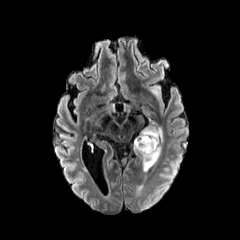
FLAIR MR.
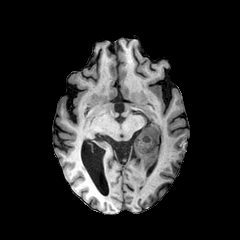
T1-weighted magnetic resonance of the same slice.
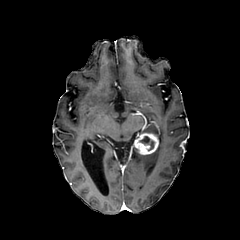
Post-contrast T1-weighted MRI of the same slice.
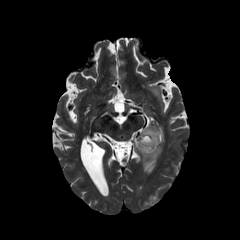
T2-weighted MRI.
Axial view; Brain
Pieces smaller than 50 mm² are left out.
enhancing tumor: bounding box x1=134, y1=132, x2=158, y2=154
peritumoral edema: bounding box x1=139, y1=122, x2=163, y2=170
necrotic tumor core: bounding box x1=140, y1=136, x2=149, y2=143